FLAIR magnetic resonance.
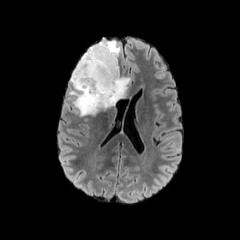
T1-weighted MR image.
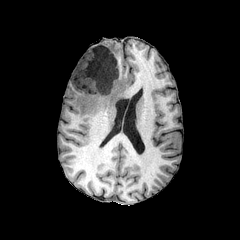
Post-contrast T1-weighted MR image.
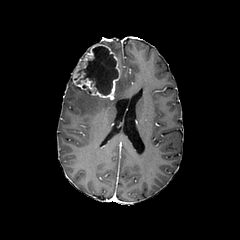
T2-weighted MR image.
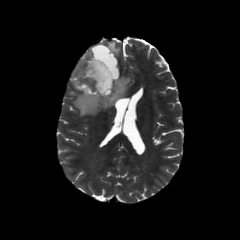
Head; 240x240 px
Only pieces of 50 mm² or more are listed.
The 2 largest peritumoral edema regions are bounded by 99:41:120:58, 70:76:130:115. The largest necrotic tumor core region appears at 77:46:118:95. The enhancing tumor is located at 72:43:119:99.